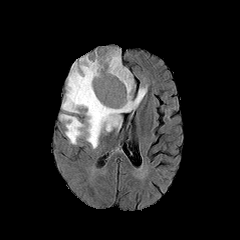
FLAIR MR.
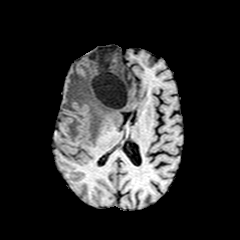
T1-weighted MR image.
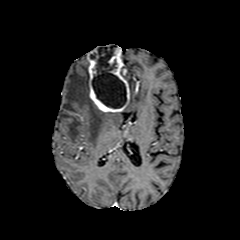
Post-contrast T1-weighted MR.
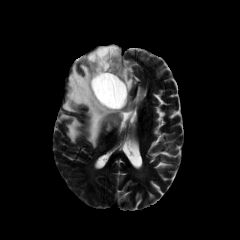
Same slice, T2-weighted magnetic resonance.
Head | Image size 240x240
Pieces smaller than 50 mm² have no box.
2 peritumoral edema regions are located at (123,68,146,112), (60,55,122,148). The necrotic tumor core is bounded by (90,46,126,108). The largest enhancing tumor region appears at (87,46,129,112).